FLAIR MR.
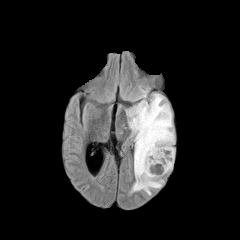
T1-weighted magnetic resonance.
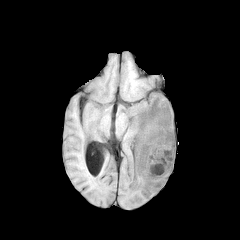
Post-contrast T1-weighted magnetic resonance.
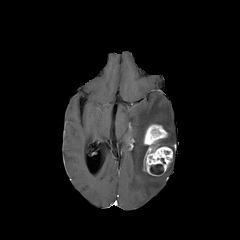
T2-weighted MR.
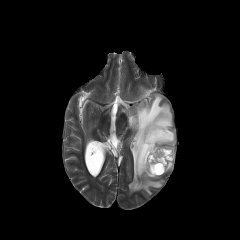
Brain.
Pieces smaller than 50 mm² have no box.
Segmented structures:
* peritumoral edema: <box>126,93,174,195</box>
* enhancing tumor: <box>143,124,173,175</box>
* necrotic tumor core: <box>150,164,163,174</box>